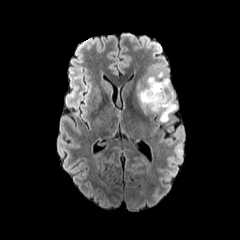
FLAIR MR image.
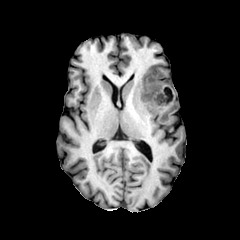
T1-weighted MRI.
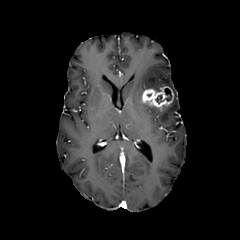
Post-contrast T1-weighted MR image.
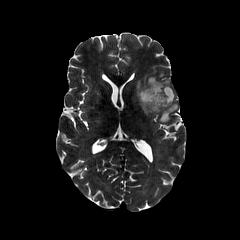
Same slice, T2-weighted MR.
Head
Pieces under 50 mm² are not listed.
{"enhancing_tumor": ["141 86 173 108"], "necrotic_tumor_core": ["154 88 171 104"], "peritumoral_edema": ["135 71 177 121"]}